FLAIR MR image.
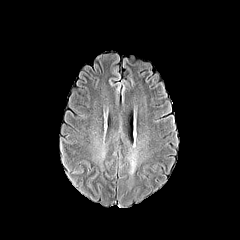
T1-weighted magnetic resonance.
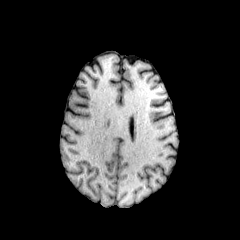
Post-contrast T1-weighted magnetic resonance.
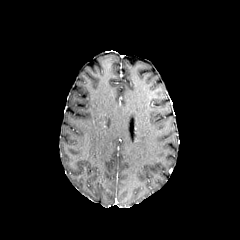
T2-weighted MRI.
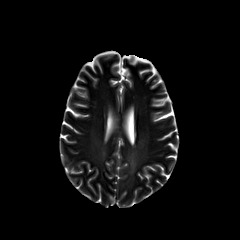
Axial slice
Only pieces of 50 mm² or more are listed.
- peritumoral edema: <bbox>128, 151, 136, 174</bbox>